Image size 240x240, Slice 91 of 155, Brain
FLAIR magnetic resonance.
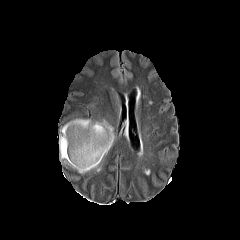
T1-weighted MRI.
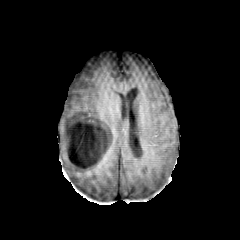
Post-contrast T1-weighted MRI.
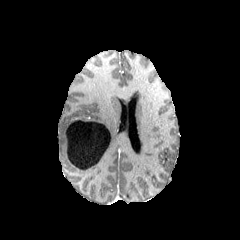
T2-weighted MR.
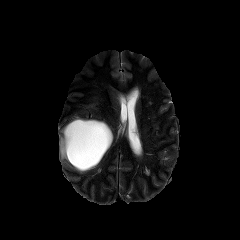
<segmentation>
  <necrotic_tumor_core>left=64, top=120, right=111, bottom=169</necrotic_tumor_core>
  <peritumoral_edema>left=59, top=116, right=116, bottom=173</peritumoral_edema>
</segmentation>